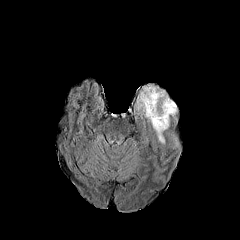
FLAIR MR image.
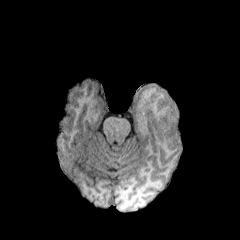
T1-weighted MRI.
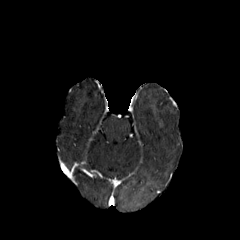
Same slice, post-contrast T1-weighted MRI.
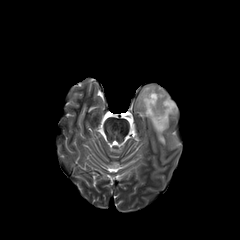
Same slice, T2-weighted MRI.
240x240, Axial view
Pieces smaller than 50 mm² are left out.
Segmented structures:
* peritumoral edema: (136, 85, 176, 144)
* enhancing tumor: (155, 117, 164, 128)